Brain, Axial slice, Image width 240 mm, 1.00 mm slice spacing
FLAIR MRI.
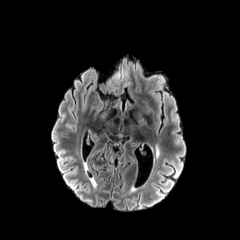
T1-weighted MR.
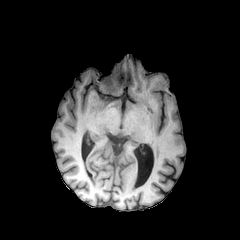
Post-contrast T1-weighted MR image.
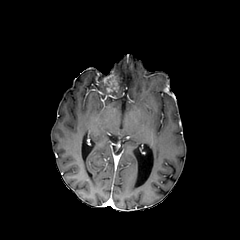
T2-weighted magnetic resonance.
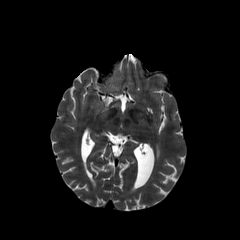
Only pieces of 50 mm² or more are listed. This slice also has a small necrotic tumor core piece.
peritumoral edema: (left=113, top=69, right=125, bottom=88)
enhancing tumor: (left=105, top=74, right=118, bottom=91)